Slice 92 of 155. Axial plane. Head. 240x240 px.
FLAIR MR.
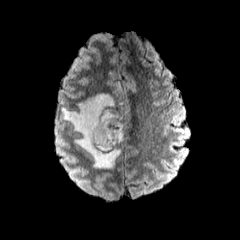
T1-weighted magnetic resonance.
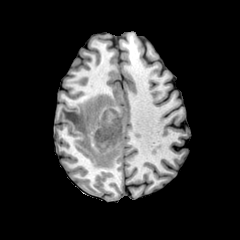
Post-contrast T1-weighted MR.
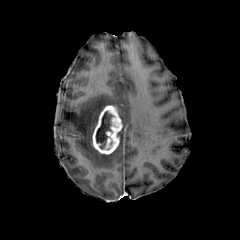
T2-weighted MRI.
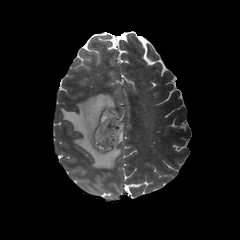
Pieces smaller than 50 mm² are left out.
enhancing_tumor:
  - <box>92,105,122,155</box>
necrotic_tumor_core:
  - <box>96,110,118,149</box>
peritumoral_edema:
  - <box>60,93,120,168</box>
  - <box>118,111,124,142</box>